Axial view, Slice index 102
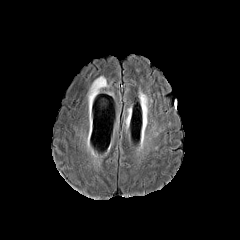
FLAIR magnetic resonance.
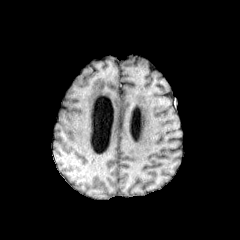
T1-weighted MR image.
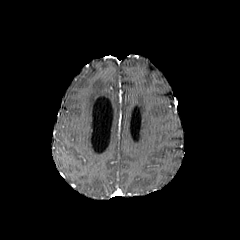
Same slice, post-contrast T1-weighted MRI.
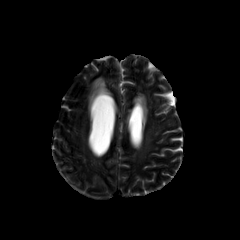
T2-weighted MRI of the same slice.
- peritumoral edema: bbox(88, 76, 106, 101)